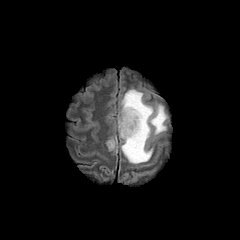
FLAIR MR.
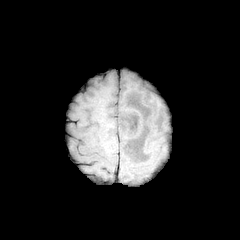
T1-weighted MR of the same slice.
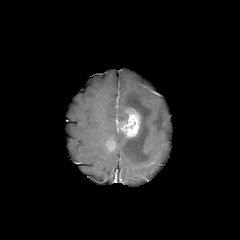
Post-contrast T1-weighted magnetic resonance.
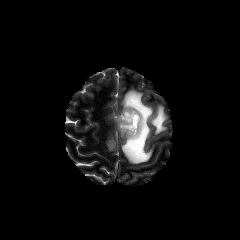
T2-weighted MR.
Brain
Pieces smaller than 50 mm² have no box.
enhancing tumor = box(116, 108, 140, 137); box(107, 140, 115, 150)
peritumoral edema = box(117, 89, 167, 164)